Slice index 45 | Image size 240x240 | Brain | Axial plane
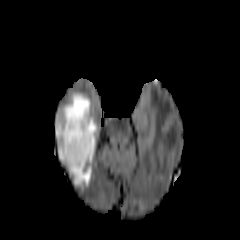
FLAIR MRI.
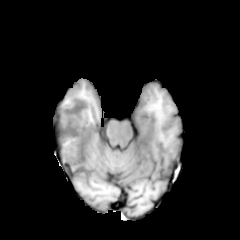
T1-weighted MR image.
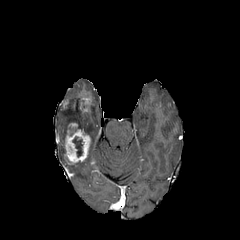
Same slice, post-contrast T1-weighted MR.
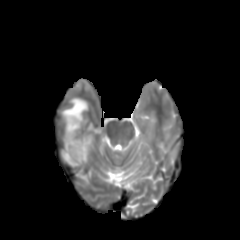
Same slice, T2-weighted MR.
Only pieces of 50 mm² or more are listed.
enhancing_tumor:
  - <box>64,122,91,164</box>
necrotic_tumor_core:
  - <box>72,136,84,156</box>
peritumoral_edema:
  - <box>56,92,96,185</box>